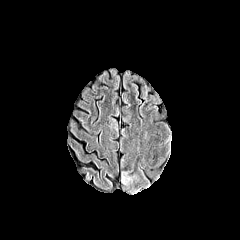
FLAIR magnetic resonance.
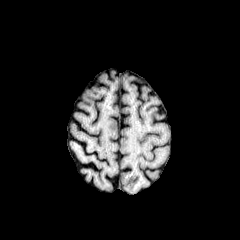
T1-weighted magnetic resonance of the same slice.
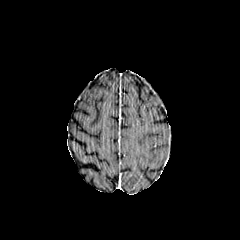
Post-contrast T1-weighted MRI of the same slice.
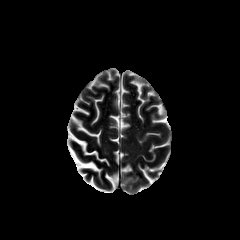
Same slice, T2-weighted MR image.
Image size 240x240
Findings:
• peritumoral edema: box=[122, 171, 135, 183]